FLAIR magnetic resonance.
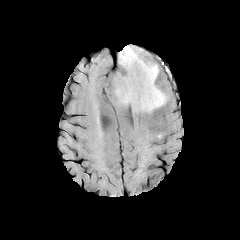
T1-weighted magnetic resonance.
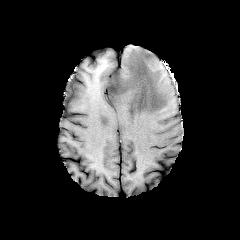
Post-contrast T1-weighted MRI.
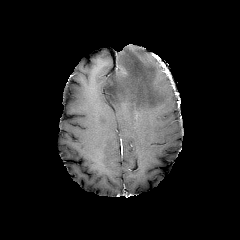
T2-weighted MR.
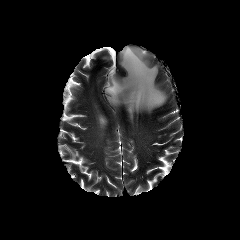
Head
peritumoral edema: bounding box (108, 45, 168, 112)